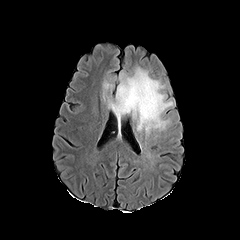
FLAIR MR.
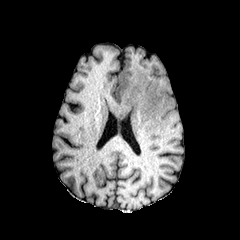
T1-weighted MR.
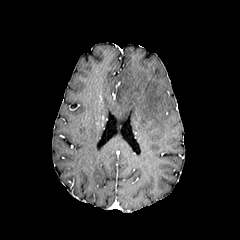
Same slice, post-contrast T1-weighted MR.
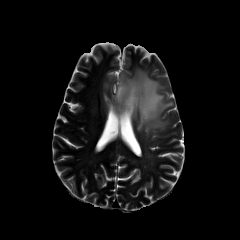
T2-weighted magnetic resonance of the same slice.
Brain | 240x240 px | Axial slice
peritumoral edema: (103,67,173,135)